Brain
FLAIR magnetic resonance.
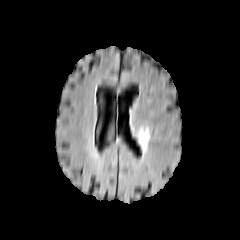
T1-weighted MR.
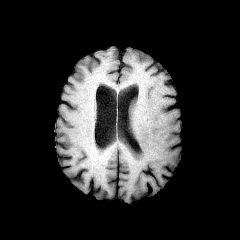
Post-contrast T1-weighted magnetic resonance.
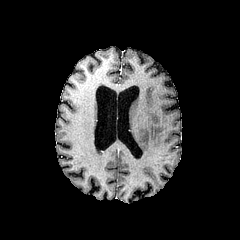
T2-weighted MRI.
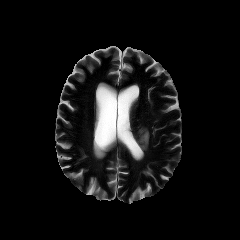
peritumoral edema: 138:127:149:151